240x240 px.
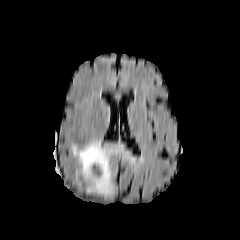
FLAIR MR.
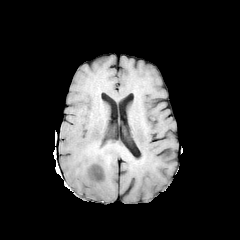
T1-weighted magnetic resonance.
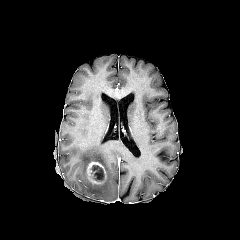
Post-contrast T1-weighted MR of the same slice.
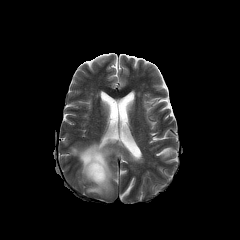
T2-weighted MR image.
The enhancing tumor lies within (86,161,106,184). The peritumoral edema lies within (70,139,140,196). The necrotic tumor core is at (92,165,104,180).